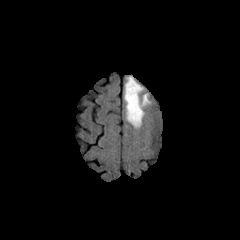
FLAIR MR.
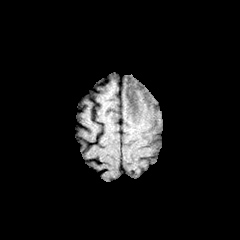
Same slice, T1-weighted MRI.
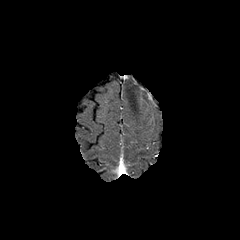
Post-contrast T1-weighted MR.
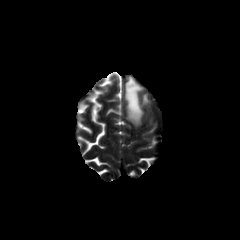
T2-weighted MRI.
240x240 | Brain
Segmented structures:
- peritumoral edema: bbox(124, 76, 149, 127)